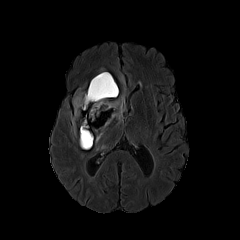
FLAIR MRI.
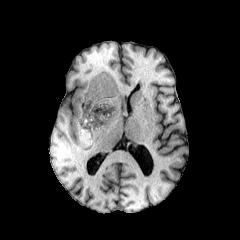
T1-weighted MRI of the same slice.
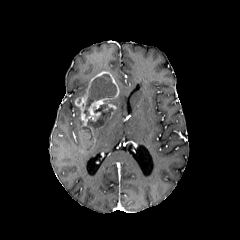
Post-contrast T1-weighted MR.
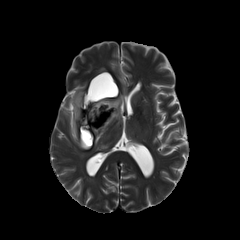
T2-weighted MR image.
Brain; Axial slice
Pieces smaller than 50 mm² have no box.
peritumoral_edema:
  - rect(71, 91, 85, 134)
  - rect(110, 94, 124, 122)
  - rect(95, 127, 105, 144)
enhancing_tumor:
  - rect(75, 71, 118, 152)
necrotic_tumor_core:
  - rect(83, 74, 116, 117)
  - rect(81, 104, 112, 143)